240x240; Image covers 240 mm x 240 mm; Brain
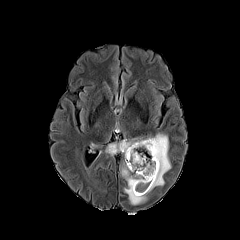
FLAIR magnetic resonance.
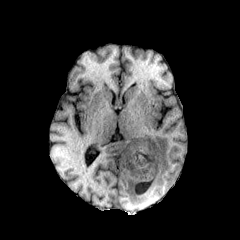
T1-weighted MRI.
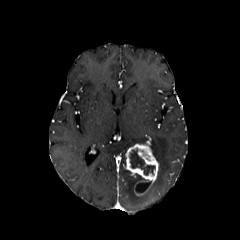
Same slice, post-contrast T1-weighted MR image.
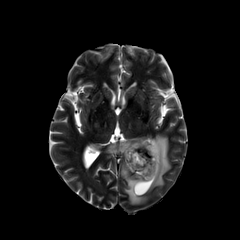
T2-weighted MR image.
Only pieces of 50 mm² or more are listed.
<segmentation>
  <necrotic_tumor_core>[130, 149, 155, 175], [135, 181, 151, 193]</necrotic_tumor_core>
  <peritumoral_edema>[121, 134, 171, 204], [105, 138, 148, 155]</peritumoral_edema>
  <enhancing_tumor>[125, 139, 158, 195]</enhancing_tumor>
</segmentation>